240x240 | Slice 65 of 155 | Axial view
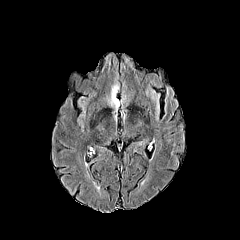
FLAIR MRI.
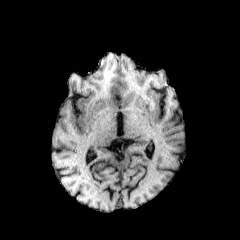
T1-weighted MR image.
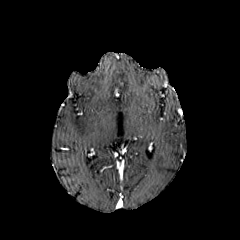
Same slice, post-contrast T1-weighted MR image.
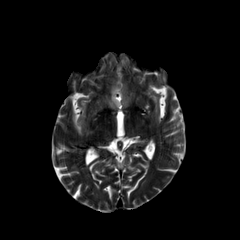
T2-weighted MR image.
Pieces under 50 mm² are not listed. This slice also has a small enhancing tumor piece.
The largest peritumoral edema region is located at bbox=[108, 81, 119, 109].